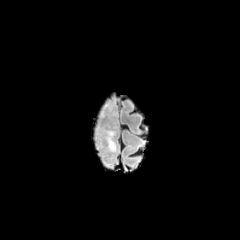
FLAIR magnetic resonance.
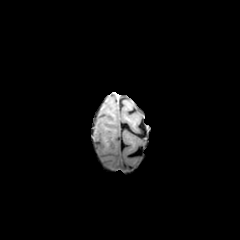
T1-weighted MRI.
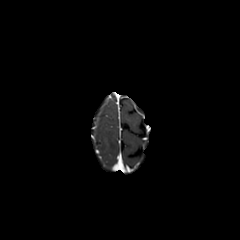
Same slice, post-contrast T1-weighted MR.
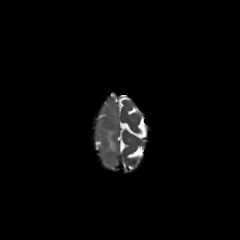
T2-weighted magnetic resonance.
Image size 240x240 | Brain
peritumoral edema: [106,104,115,115], [103,129,116,152]